Image covers 240 mm x 240 mm; Slice 98/155
FLAIR MRI.
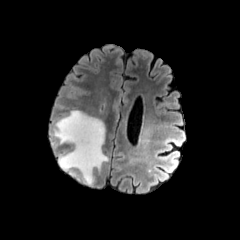
T1-weighted MR.
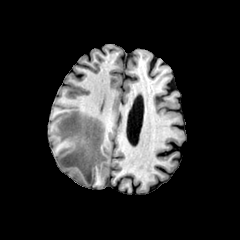
Post-contrast T1-weighted magnetic resonance.
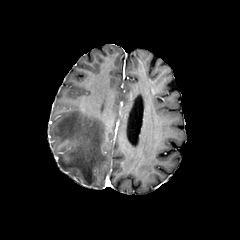
T2-weighted magnetic resonance.
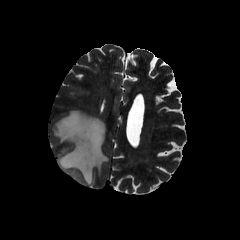
peritumoral edema: bounding box (x1=53, y1=110, x2=108, y2=184)